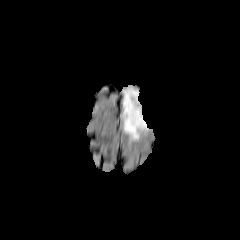
FLAIR MR image.
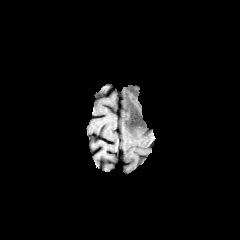
T1-weighted MR of the same slice.
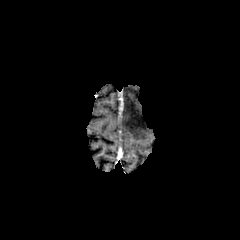
Post-contrast T1-weighted MR image.
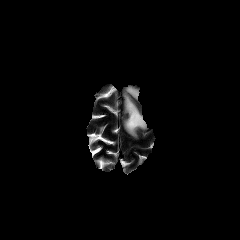
T2-weighted magnetic resonance.
Image size 240x240. Axial view.
peritumoral edema = (123,87,147,139)